Slice index 80
FLAIR MRI.
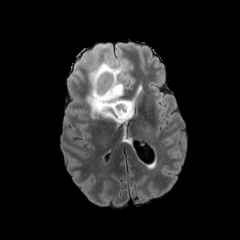
T1-weighted MRI.
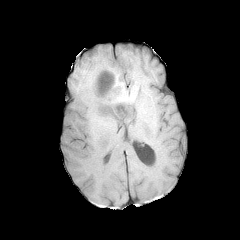
Post-contrast T1-weighted MR image.
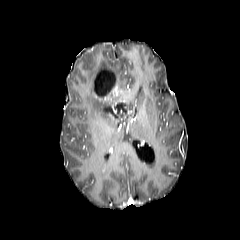
T2-weighted MR image.
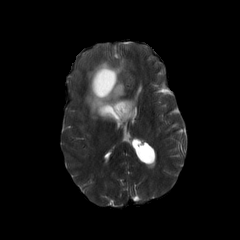
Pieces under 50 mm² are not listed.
enhancing tumor: rect(94, 83, 121, 101); rect(112, 100, 133, 120)
peritumoral edema: rect(86, 60, 134, 123)
necrotic tumor core: rect(117, 103, 125, 113); rect(94, 70, 115, 95)